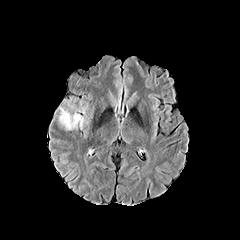
FLAIR MR.
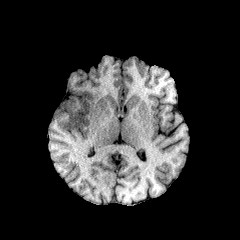
T1-weighted magnetic resonance.
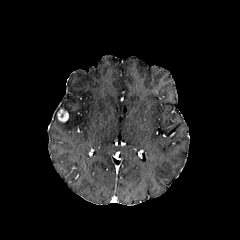
Post-contrast T1-weighted MRI.
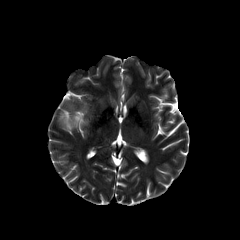
Same slice, T2-weighted MR.
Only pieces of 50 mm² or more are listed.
- peritumoral edema: left=61, top=113, right=85, bottom=129
- enhancing tumor: left=57, top=108, right=68, bottom=122